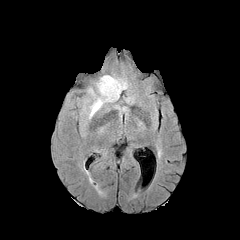
FLAIR magnetic resonance.
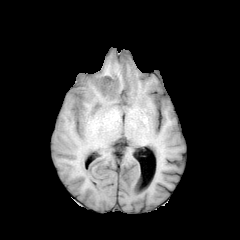
T1-weighted MR image.
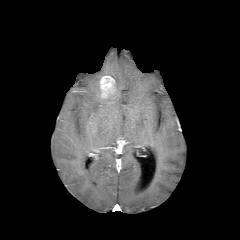
Post-contrast T1-weighted MR.
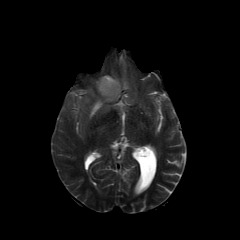
T2-weighted MR.
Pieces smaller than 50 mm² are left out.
- peritumoral edema: l=89, t=79, r=126, b=117
- enhancing tumor: l=99, t=76, r=116, b=97